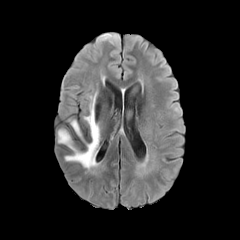
FLAIR MR image.
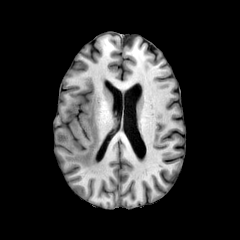
Same slice, T1-weighted MRI.
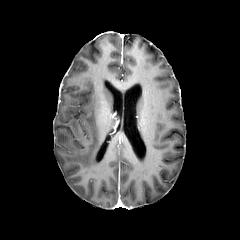
Post-contrast T1-weighted magnetic resonance.
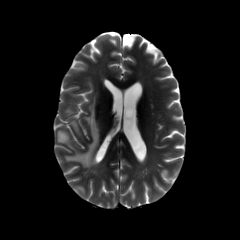
T2-weighted magnetic resonance.
240x240
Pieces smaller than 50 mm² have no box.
peritumoral edema: bounding box [71, 120, 81, 136], [58, 94, 99, 170]